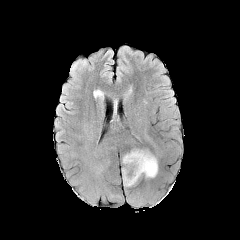
FLAIR MR image.
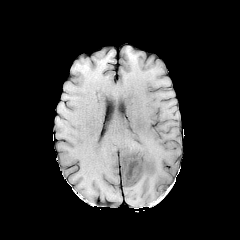
Same slice, T1-weighted MR.
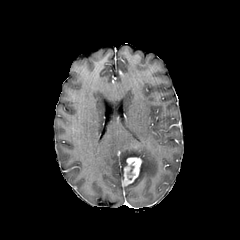
Same slice, post-contrast T1-weighted MRI.
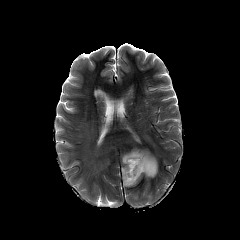
Same slice, T2-weighted magnetic resonance.
Brain | Image size 240x240
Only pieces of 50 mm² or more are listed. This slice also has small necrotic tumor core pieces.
<segmentation>
  <peritumoral_edema>rect(122, 149, 140, 166); rect(125, 150, 157, 186)</peritumoral_edema>
  <enhancing_tumor>rect(123, 157, 141, 185)</enhancing_tumor>
</segmentation>